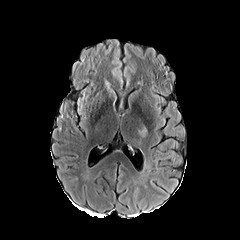
FLAIR magnetic resonance.
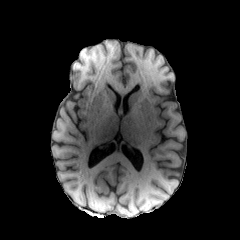
T1-weighted MR image.
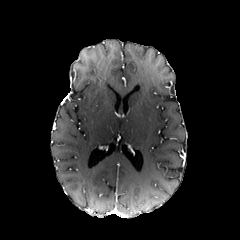
Post-contrast T1-weighted MR.
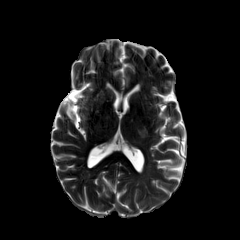
T2-weighted MR image.
Image size 240x240 | Head
<segmentation>
  <peritumoral_edema>{"x1": 137, "y1": 126, "x2": 146, "y2": 137}</peritumoral_edema>
</segmentation>